FLAIR MRI.
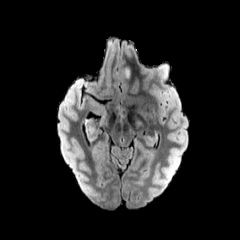
T1-weighted MR.
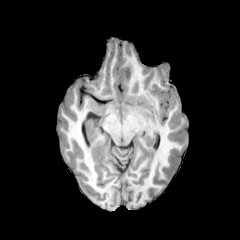
Post-contrast T1-weighted magnetic resonance.
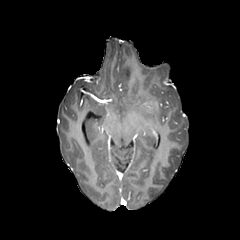
T2-weighted MR.
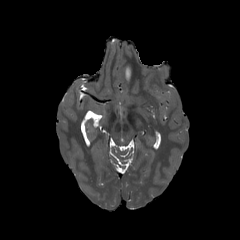
Head; Axial view
Segmented structures:
- peritumoral edema: box(124, 67, 130, 78)